Brain, Axial view
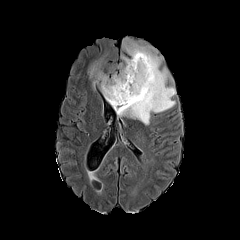
FLAIR MRI.
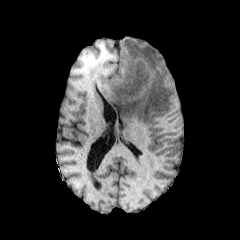
T1-weighted MRI of the same slice.
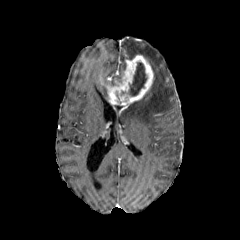
Same slice, post-contrast T1-weighted MRI.
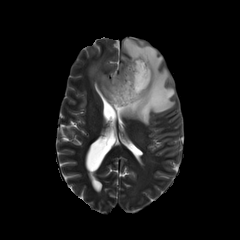
T2-weighted MRI.
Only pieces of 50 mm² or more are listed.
The largest necrotic tumor core region lies within rect(128, 62, 147, 96). The enhancing tumor appears at rect(106, 55, 153, 114). The 2 largest peritumoral edema regions appear at rect(87, 56, 125, 106); rect(117, 37, 176, 124).